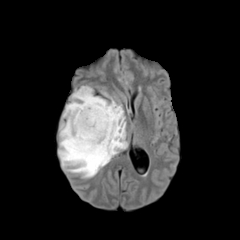
FLAIR MRI.
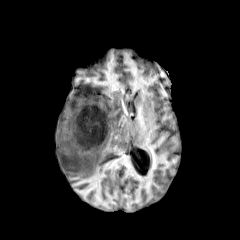
T1-weighted MRI of the same slice.
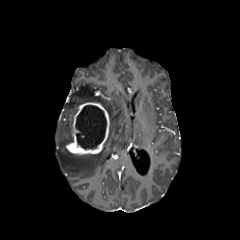
Same slice, post-contrast T1-weighted magnetic resonance.
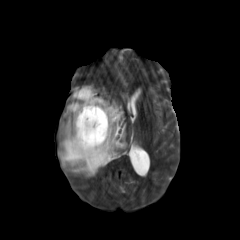
T2-weighted magnetic resonance.
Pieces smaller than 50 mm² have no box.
peritumoral edema = (58, 85, 127, 177)
necrotic tumor core = (75, 105, 106, 149)
enhancing tumor = (66, 102, 109, 155)